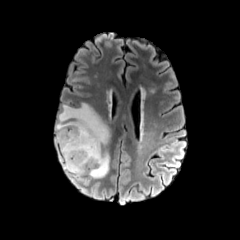
FLAIR MRI.
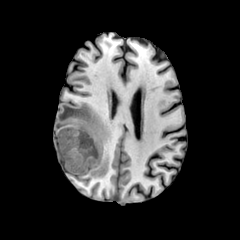
T1-weighted magnetic resonance of the same slice.
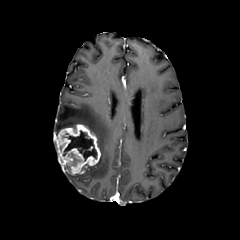
Post-contrast T1-weighted MR image of the same slice.
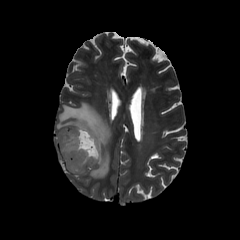
Same slice, T2-weighted MR image.
Axial slice
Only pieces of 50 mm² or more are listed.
enhancing_tumor:
  - (54,124,100,174)
necrotic_tumor_core:
  - (63,131,97,160)
peritumoral_edema:
  - (55,102,110,178)